Head. Axial slice. 240x240.
FLAIR MRI.
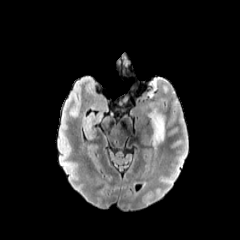
T1-weighted MR.
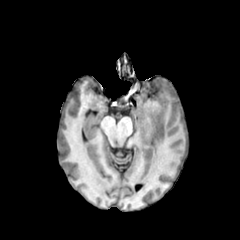
Post-contrast T1-weighted MR image.
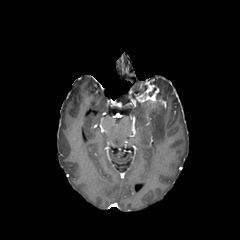
T2-weighted MR image.
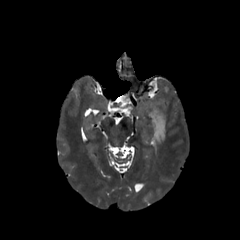
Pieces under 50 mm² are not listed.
peritumoral edema: bounding box (147, 101, 165, 145)
enhancing tumor: bounding box (138, 85, 165, 104)